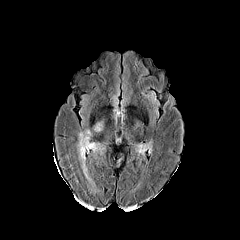
FLAIR MR image.
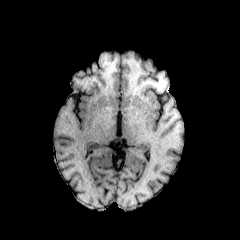
T1-weighted MR of the same slice.
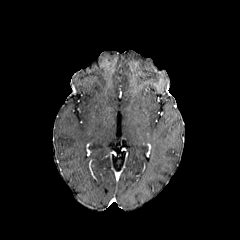
Same slice, post-contrast T1-weighted magnetic resonance.
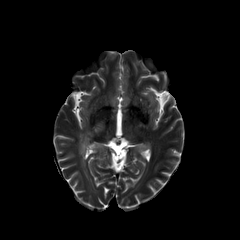
T2-weighted MR.
{"peritumoral_edema": ["bbox=[78, 131, 102, 175]", "bbox=[93, 121, 103, 132]", "bbox=[136, 144, 146, 153]"]}